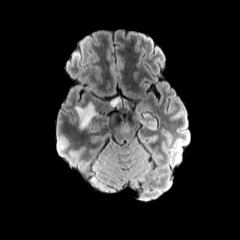
FLAIR MR image.
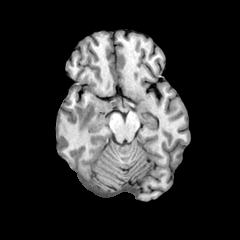
T1-weighted MR.
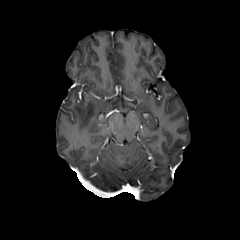
Post-contrast T1-weighted MRI of the same slice.
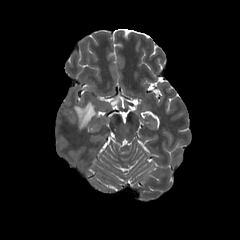
T2-weighted MR.
Axial plane | 240x240 | Head
peritumoral edema — (left=75, top=102, right=96, bottom=129), (left=110, top=97, right=120, bottom=106)